FLAIR MR image.
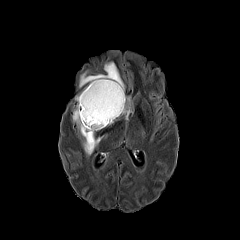
T1-weighted MRI.
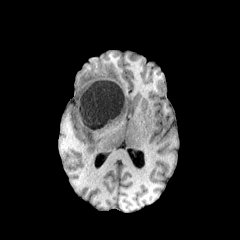
Post-contrast T1-weighted MR image.
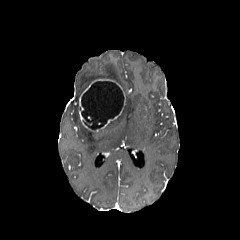
T2-weighted MR.
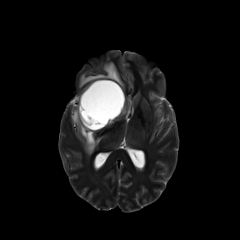
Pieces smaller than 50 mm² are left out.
Findings:
- enhancing tumor: l=79, t=79, r=125, b=131
- peritumoral edema: l=72, t=104, r=103, b=155; l=122, t=96, r=133, b=119; l=79, t=62, r=125, b=91
- necrotic tumor core: l=81, t=81, r=124, b=130